Image size 240x240. Slice index 45.
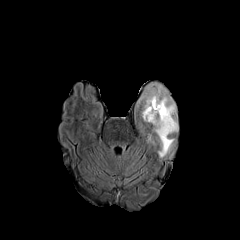
FLAIR magnetic resonance.
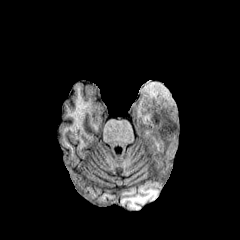
T1-weighted MRI.
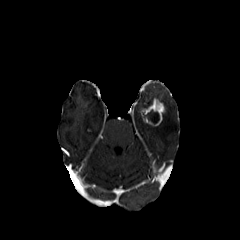
Post-contrast T1-weighted MR image of the same slice.
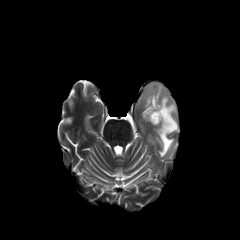
T2-weighted MRI.
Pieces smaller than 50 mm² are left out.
The necrotic tumor core is located at box=[145, 110, 159, 123]. The enhancing tumor is bounded by box=[140, 98, 165, 126]. The largest peritumoral edema region is at box=[139, 83, 178, 157].